Slice index 127
FLAIR MR image.
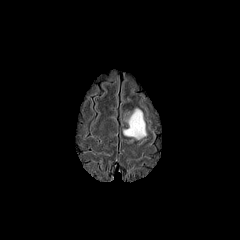
T1-weighted MR image.
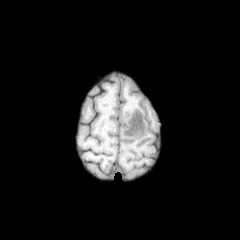
Post-contrast T1-weighted MR.
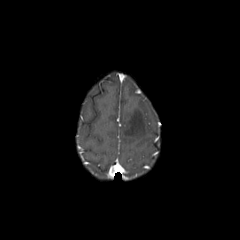
T2-weighted MR.
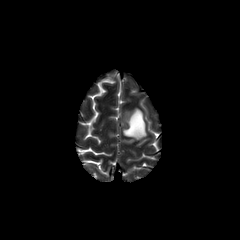
peritumoral edema: region(123, 108, 146, 139)